Axial plane | Slice 100/155
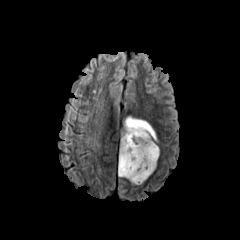
FLAIR MR image.
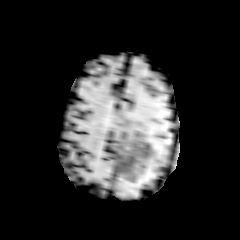
Same slice, T1-weighted MRI.
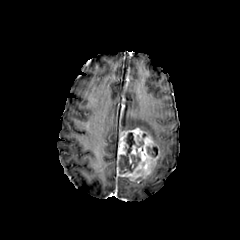
Same slice, post-contrast T1-weighted MRI.
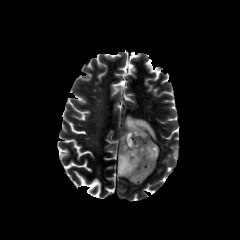
T2-weighted MRI of the same slice.
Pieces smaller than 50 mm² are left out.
peritumoral edema: (x1=124, y1=116, x2=157, y2=141)
enhancing tumor: (x1=117, y1=128, x2=159, y2=182)
necrotic tumor core: (x1=151, y1=146, x2=157, y2=157), (x1=119, y1=132, x2=143, y2=173)